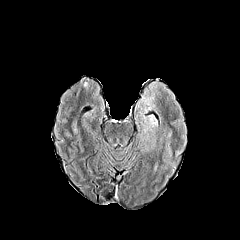
FLAIR MR.
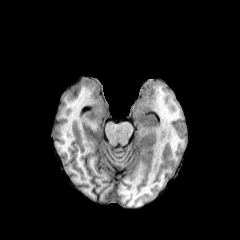
Same slice, T1-weighted MRI.
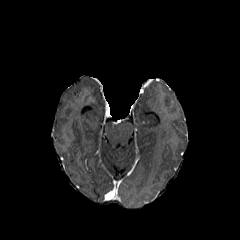
Post-contrast T1-weighted MR image of the same slice.
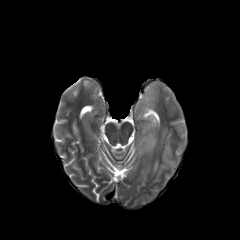
T2-weighted MR image.
Image size 240x240
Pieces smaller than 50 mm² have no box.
Annotated regions:
• peritumoral edema: <bbox>149, 115, 156, 126</bbox>